FLAIR MR image.
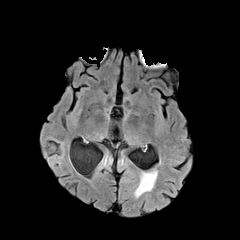
T1-weighted MRI.
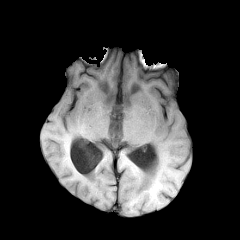
Post-contrast T1-weighted MR.
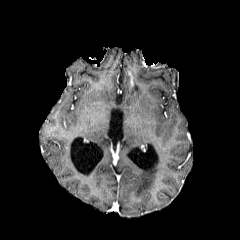
T2-weighted MR image.
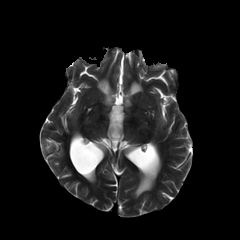
240x240 px
The peritumoral edema is at (134, 167, 157, 197).